FLAIR MR image.
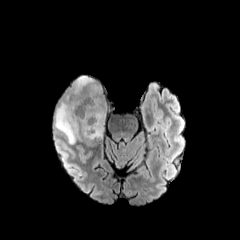
T1-weighted magnetic resonance.
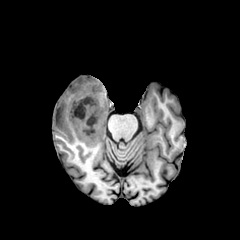
Post-contrast T1-weighted MR image.
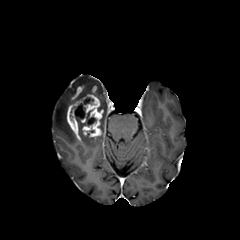
T2-weighted MR image.
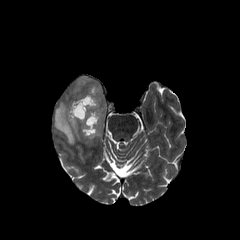
Axial plane
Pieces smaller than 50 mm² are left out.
<segmentation>
  <enhancing_tumor>left=67, top=86, right=103, bottom=140</enhancing_tumor>
  <peritumoral_edema>left=72, top=76, right=106, bottom=138; left=54, top=96, right=76, bottom=144</peritumoral_edema>
  <necrotic_tumor_core>left=75, top=104, right=84, bottom=118</necrotic_tumor_core>
</segmentation>